FLAIR magnetic resonance.
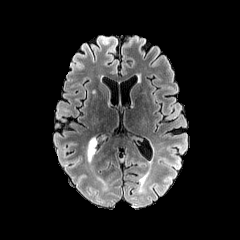
T1-weighted MR.
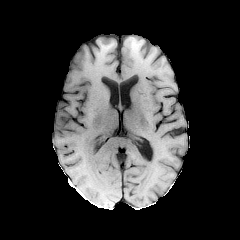
Post-contrast T1-weighted MRI.
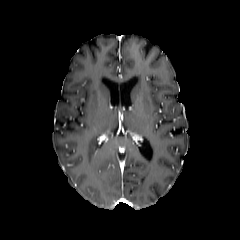
T2-weighted magnetic resonance.
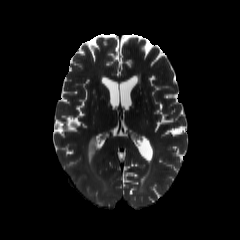
Brain | 240x240
{
  "peritumoral_edema": [
    "rect(87, 137, 97, 163)"
  ]
}